Axial view | Image width 240 mm | Brain
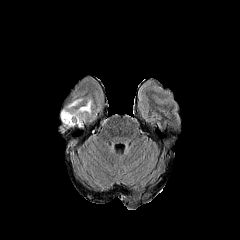
FLAIR MR.
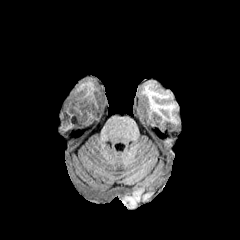
T1-weighted MR.
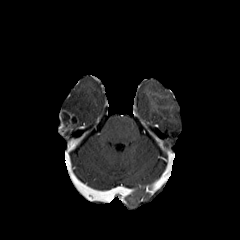
Same slice, post-contrast T1-weighted magnetic resonance.
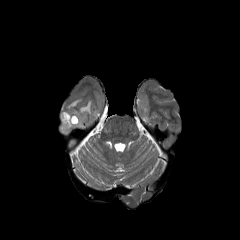
T2-weighted MR of the same slice.
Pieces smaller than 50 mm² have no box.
enhancing_tumor:
  - 66:136:78:150
  - 59:112:73:134
necrotic_tumor_core:
  - 71:116:77:126
  - 62:112:69:128
peritumoral_edema:
  - 61:99:96:126